FLAIR magnetic resonance.
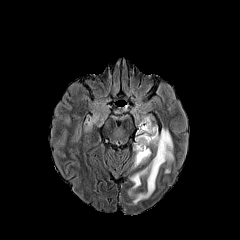
T1-weighted MR image.
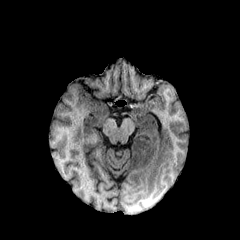
Post-contrast T1-weighted magnetic resonance.
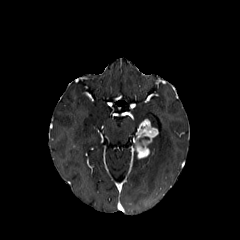
T2-weighted magnetic resonance.
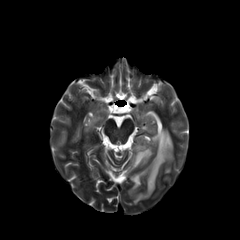
Brain
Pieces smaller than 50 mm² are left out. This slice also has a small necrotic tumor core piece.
{
  "peritumoral_edema": [
    "[133,153,149,167]",
    "[128,128,173,204]",
    "[85,119,90,128]"
  ],
  "enhancing_tumor": [
    "[133,119,158,159]"
  ]
}